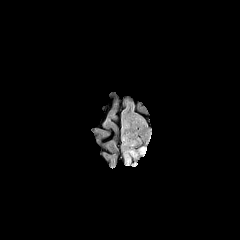
FLAIR MR image.
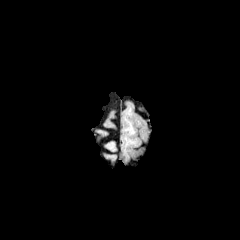
Same slice, T1-weighted MR.
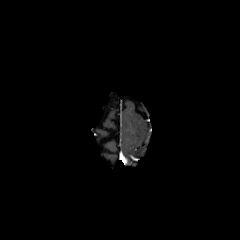
Post-contrast T1-weighted MR.
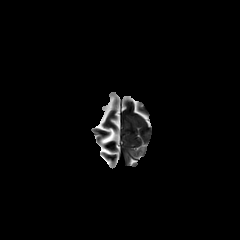
Same slice, T2-weighted MRI.
Axial plane. 240x240 px.
<segmentation>
  <peritumoral_edema>(x1=124, y1=146, x2=146, y2=165)</peritumoral_edema>
</segmentation>